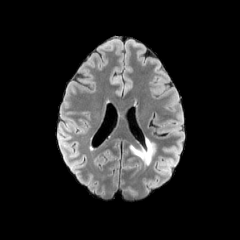
FLAIR MRI.
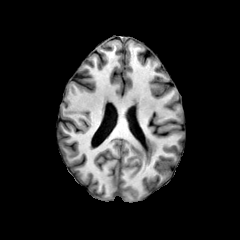
Same slice, T1-weighted magnetic resonance.
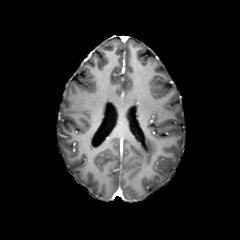
Post-contrast T1-weighted magnetic resonance.
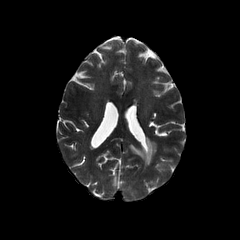
T2-weighted magnetic resonance.
240x240 px.
<segmentation>
  <peritumoral_edema>[128, 137, 156, 169]</peritumoral_edema>
</segmentation>